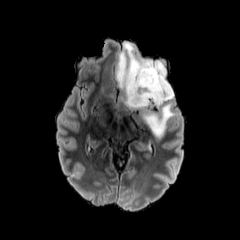
FLAIR MR image.
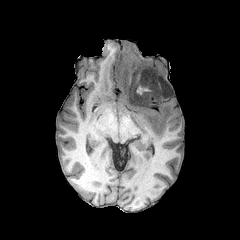
T1-weighted MRI.
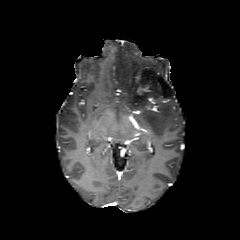
Post-contrast T1-weighted MRI of the same slice.
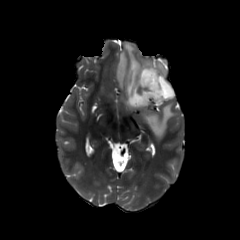
T2-weighted MR image of the same slice.
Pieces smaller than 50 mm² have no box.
peritumoral_edema:
  - [116, 42, 175, 138]
enhancing_tumor:
  - [137, 84, 151, 94]
  - [147, 96, 169, 106]
  - [134, 71, 140, 83]